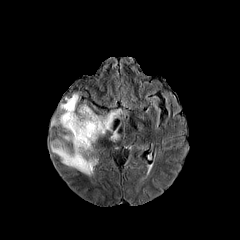
FLAIR magnetic resonance.
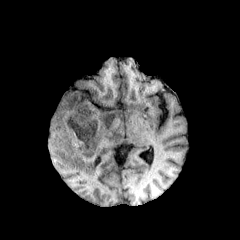
T1-weighted magnetic resonance.
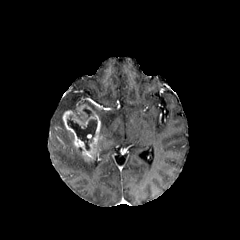
Same slice, post-contrast T1-weighted MR.
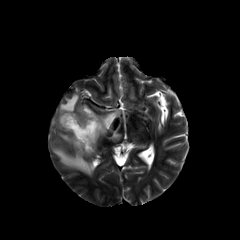
T2-weighted magnetic resonance of the same slice.
Axial slice; 240x240 px
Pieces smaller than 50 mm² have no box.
The 2 largest necrotic tumor core regions are located at (left=83, top=108, right=92, bottom=117), (left=67, top=115, right=97, bottom=150). The 5 largest peritumoral edema regions appear at (left=58, top=93, right=79, bottom=131), (left=62, top=133, right=73, bottom=141), (left=51, top=141, right=96, bottom=175), (left=99, top=110, right=120, bottom=135), (left=111, top=130, right=119, bottom=140). The largest enhancing tumor region lies within (left=62, top=104, right=100, bottom=160).